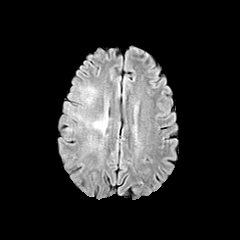
FLAIR magnetic resonance.
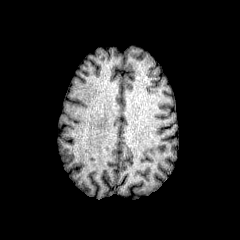
T1-weighted MRI.
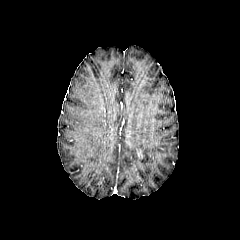
Post-contrast T1-weighted MR.
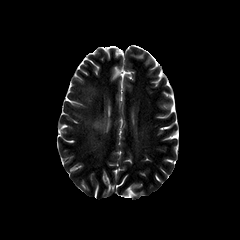
T2-weighted MR.
Head. 240x240.
Segmented structures:
• peritumoral edema: x1=74, y1=113, x2=108, y2=133; x1=85, y1=87, x2=96, y2=102